Brain
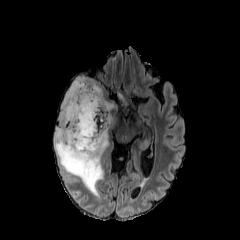
FLAIR MR image.
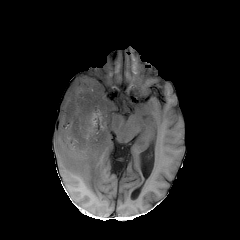
T1-weighted MR image.
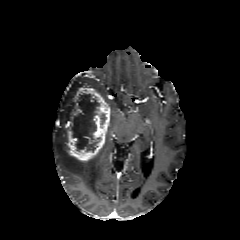
Post-contrast T1-weighted MRI of the same slice.
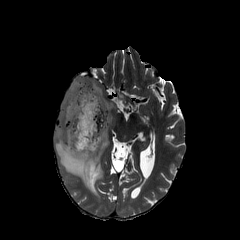
T2-weighted magnetic resonance.
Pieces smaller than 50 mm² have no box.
peritumoral_edema:
  - left=55, top=76, right=107, bottom=196
enhancing_tumor:
  - left=67, top=88, right=111, bottom=161
necrotic_tumor_core:
  - left=71, top=93, right=99, bottom=151